FLAIR magnetic resonance.
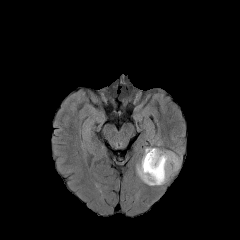
T1-weighted MR.
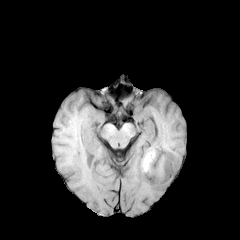
Post-contrast T1-weighted magnetic resonance.
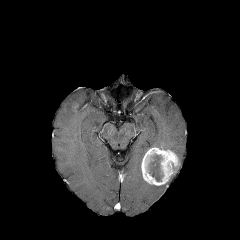
T2-weighted MR.
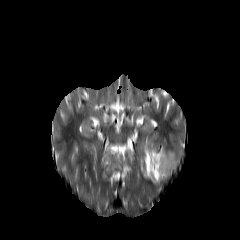
240x240
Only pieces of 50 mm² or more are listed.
necrotic_tumor_core:
  - [148, 155, 163, 181]
enhancing_tumor:
  - [141, 147, 179, 185]
peritumoral_edema:
  - [136, 141, 155, 185]